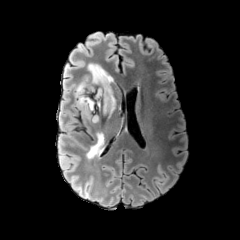
FLAIR MRI.
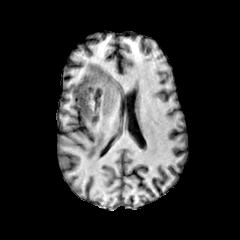
T1-weighted MR image of the same slice.
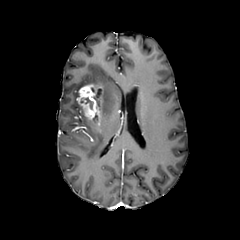
Same slice, post-contrast T1-weighted MRI.
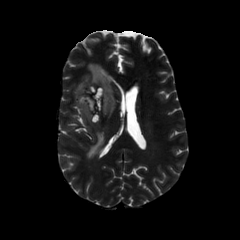
T2-weighted magnetic resonance.
Head
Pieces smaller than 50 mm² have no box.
necrotic tumor core: <bbox>85, 97, 93, 109</bbox>
enhancing tumor: <bbox>77, 84, 103, 123</bbox>
peritumoral edema: <bbox>74, 63, 116, 117</bbox>, <bbox>86, 121, 104, 158</bbox>